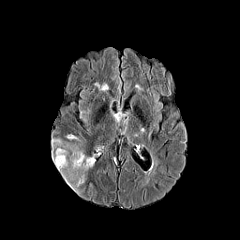
FLAIR MR.
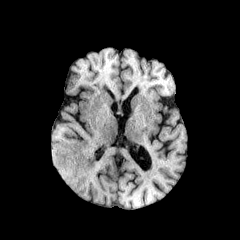
T1-weighted MR of the same slice.
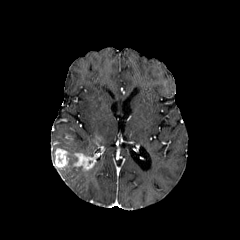
Post-contrast T1-weighted MR image.
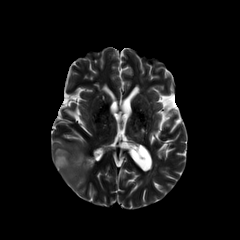
Same slice, T2-weighted MR image.
Head, Axial slice
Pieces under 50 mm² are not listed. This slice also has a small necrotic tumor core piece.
2 enhancing tumor regions are located at box(71, 152, 95, 171); box(54, 148, 70, 169). The 3 largest peritumoral edema regions are located at box(67, 135, 78, 140); box(52, 138, 85, 165); box(55, 155, 87, 193).